FLAIR MR image.
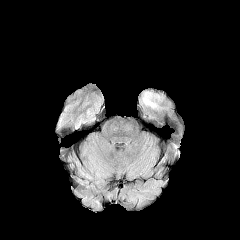
T1-weighted MR image.
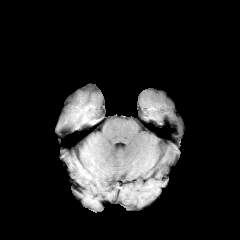
Post-contrast T1-weighted magnetic resonance.
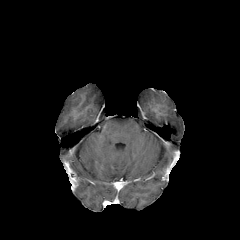
T2-weighted MRI.
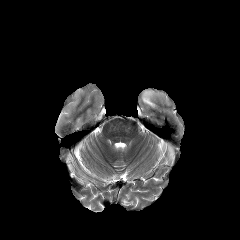
240x240 px.
The peritumoral edema is at (x1=142, y1=91, x2=159, y2=108).